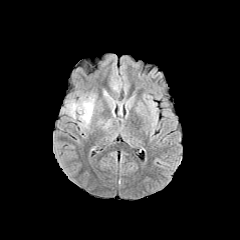
FLAIR magnetic resonance.
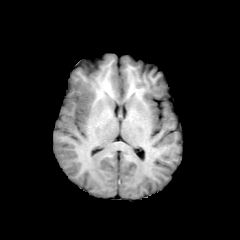
T1-weighted MR.
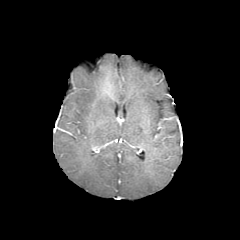
Post-contrast T1-weighted MR of the same slice.
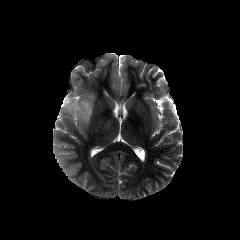
Same slice, T2-weighted magnetic resonance.
240x240 px
The peritumoral edema is located at [67, 97, 93, 125].